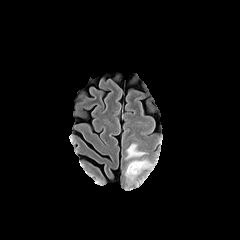
FLAIR MR image.
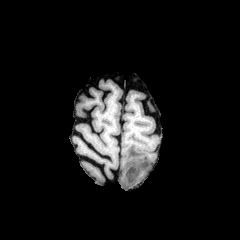
Same slice, T1-weighted magnetic resonance.
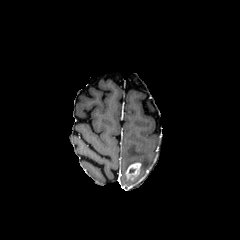
Post-contrast T1-weighted MRI of the same slice.
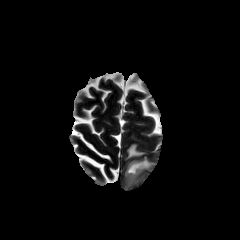
Same slice, T2-weighted MR.
Head.
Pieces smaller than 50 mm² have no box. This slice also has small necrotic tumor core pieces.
Annotated regions:
• enhancing tumor: [125, 162, 141, 182]
• peritumoral edema: [125, 143, 151, 171]